Slice index 48.
FLAIR MR image.
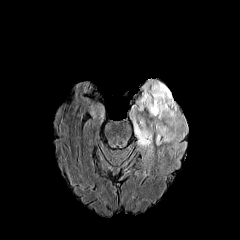
T1-weighted magnetic resonance.
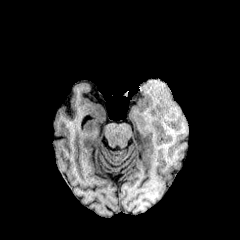
Post-contrast T1-weighted magnetic resonance.
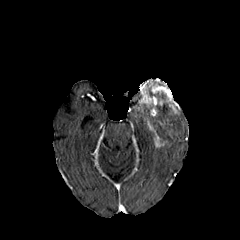
T2-weighted MR.
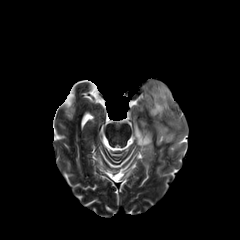
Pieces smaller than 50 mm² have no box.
The 2 largest enhancing tumor regions are located at 135 80 179 116, 148 123 164 146. The largest peritumoral edema region lies within 131 106 184 158.